FLAIR MRI.
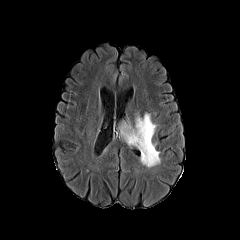
T1-weighted MRI.
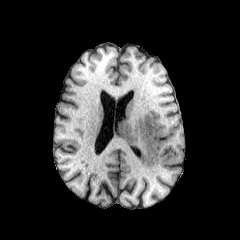
Post-contrast T1-weighted magnetic resonance.
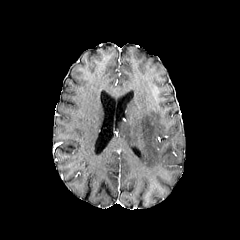
T2-weighted magnetic resonance.
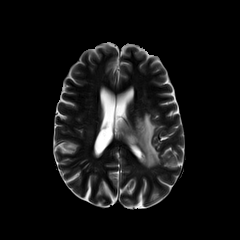
Axial view, Head
peritumoral edema = x1=119 y1=113 x2=160 y2=167